Brain. 240x240 px. Slice index 101.
FLAIR magnetic resonance.
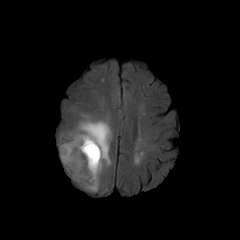
T1-weighted MR image.
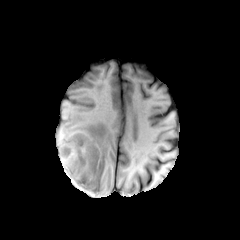
Post-contrast T1-weighted MRI.
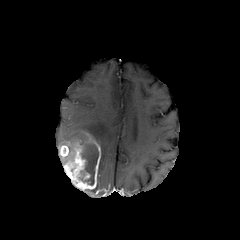
T2-weighted magnetic resonance.
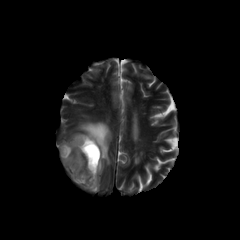
<segmentation>
  <peritumoral_edema>l=58, t=115, r=112, b=192</peritumoral_edema>
  <necrotic_tumor_core>l=82, t=144, r=98, b=184</necrotic_tumor_core>
  <enhancing_tumor>l=63, t=132, r=101, b=190; l=60, t=145, r=69, b=157</enhancing_tumor>
</segmentation>